Brain; Slice 82/155; Axial plane
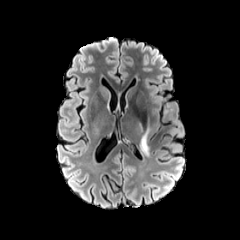
FLAIR MR.
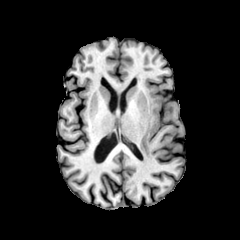
Same slice, T1-weighted MR image.
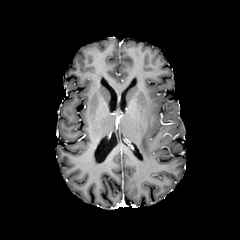
Same slice, post-contrast T1-weighted magnetic resonance.
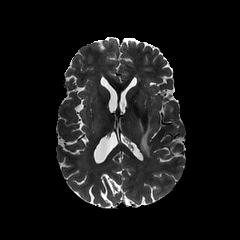
Same slice, T2-weighted MRI.
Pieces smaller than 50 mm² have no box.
The largest peritumoral edema region appears at <bbox>138, 117, 151, 157</bbox>.